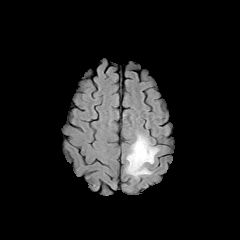
FLAIR MRI.
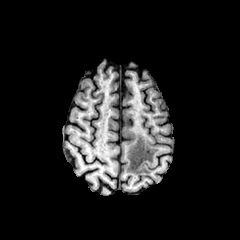
T1-weighted MR.
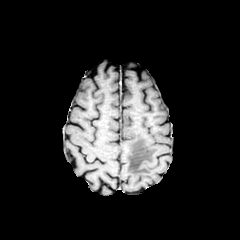
Post-contrast T1-weighted MR.
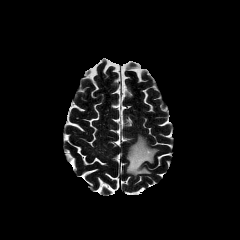
T2-weighted MR of the same slice.
Brain.
peritumoral edema at (x1=126, y1=134, x2=159, y2=177)